240x240, Head, Slice index 32, Image covers 240 mm x 240 mm
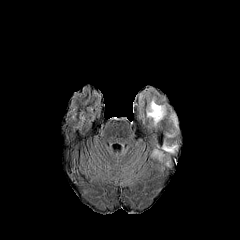
FLAIR MR image.
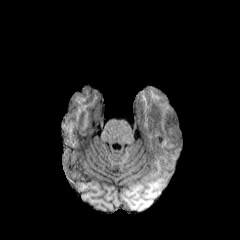
T1-weighted MRI of the same slice.
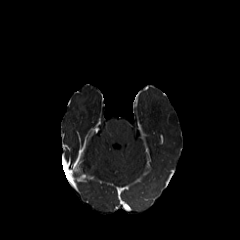
Post-contrast T1-weighted magnetic resonance.
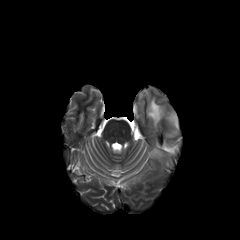
Same slice, T2-weighted magnetic resonance.
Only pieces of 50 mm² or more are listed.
The 4 largest peritumoral edema regions are bounded by 170, 114, 177, 127; 153, 150, 162, 157; 162, 143, 177, 153; 147, 98, 165, 126.